FLAIR MR image.
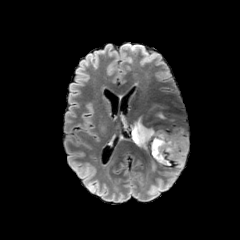
T1-weighted MRI.
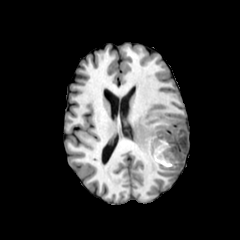
Post-contrast T1-weighted MRI.
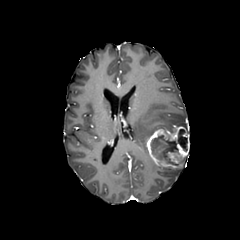
T2-weighted MR.
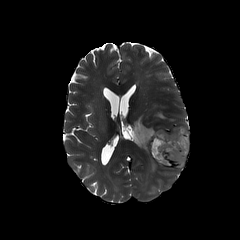
Brain. Image size 240x240. Axial slice.
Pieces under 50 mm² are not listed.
The 2 largest necrotic tumor core regions are located at 150:135:181:165, 177:129:187:150. The 2 largest peritumoral edema regions are located at 130:115:155:151, 157:113:176:121. The largest enhancing tumor region is bounded by 146:125:189:168.